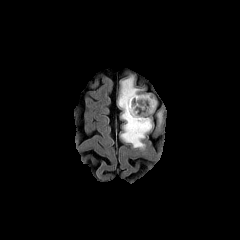
FLAIR MRI.
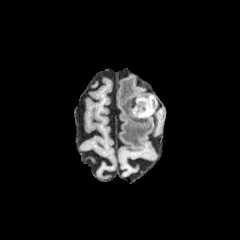
Same slice, T1-weighted MR image.
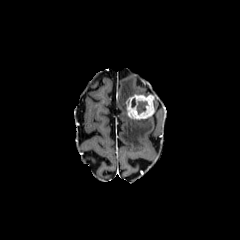
Same slice, post-contrast T1-weighted MR image.
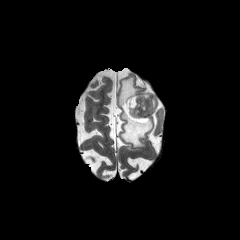
T2-weighted MR.
Image size 240x240
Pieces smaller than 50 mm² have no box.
{
  "peritumoral_edema": [
    "[x1=118, y1=77, x2=152, y2=147]"
  ],
  "necrotic_tumor_core": [
    "[x1=137, y1=101, x2=147, y2=113]"
  ],
  "enhancing_tumor": [
    "[x1=126, y1=94, x2=154, y2=119]"
  ]
}